240x240 px. Head.
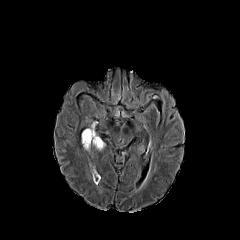
FLAIR MRI.
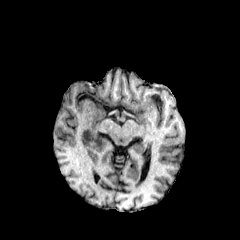
T1-weighted MR image of the same slice.
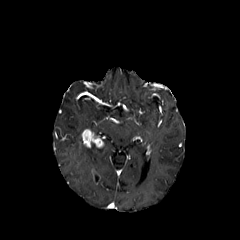
Post-contrast T1-weighted MR.
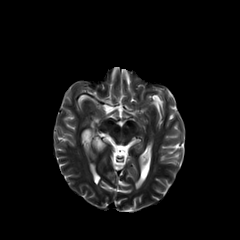
T2-weighted MRI of the same slice.
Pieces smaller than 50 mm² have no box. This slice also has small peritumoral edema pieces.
enhancing tumor: bounding box <box>92,168,100,184</box>, <box>82,129,103,147</box>